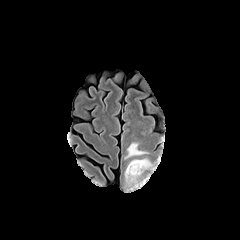
FLAIR MR image.
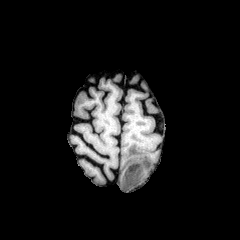
T1-weighted MR.
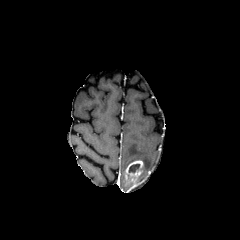
Post-contrast T1-weighted MR image.
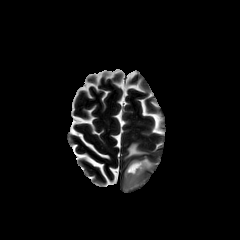
T2-weighted MR.
Axial view; Brain
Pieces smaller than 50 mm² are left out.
enhancing tumor: <box>123,160,147,192</box> | peritumoral edema: <box>124,142,148,159</box>, <box>141,157,154,170</box> | necrotic tumor core: <box>129,164,139,172</box>